FLAIR MR.
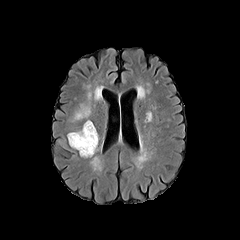
T1-weighted MRI.
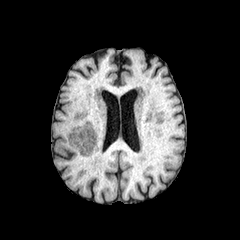
Post-contrast T1-weighted MR image.
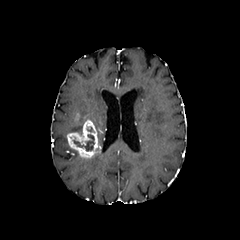
T2-weighted magnetic resonance.
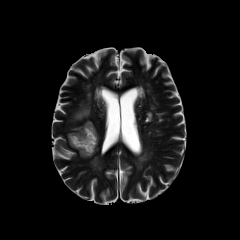
Axial slice. Head.
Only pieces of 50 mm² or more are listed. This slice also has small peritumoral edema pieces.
Segmented structures:
• necrotic tumor core: 73:134:94:151
• enhancing tumor: 67:120:100:158